FLAIR MR.
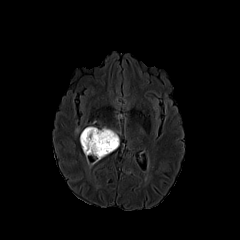
T1-weighted MR image.
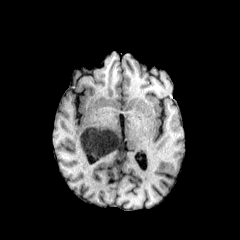
Post-contrast T1-weighted MR image.
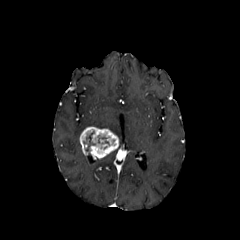
T2-weighted MR.
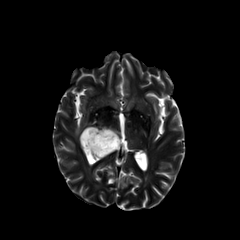
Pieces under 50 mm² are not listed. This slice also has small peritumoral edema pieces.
enhancing tumor: <box>79,126,118,166</box>
necrotic tumor core: <box>86,132,95,151</box>